FLAIR MR.
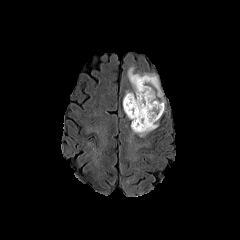
T1-weighted MR image.
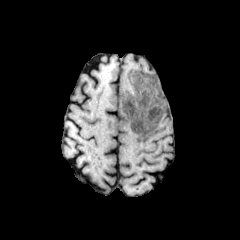
Post-contrast T1-weighted MR.
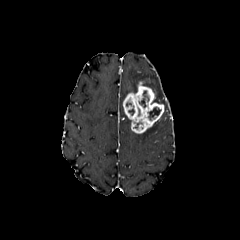
T2-weighted MRI.
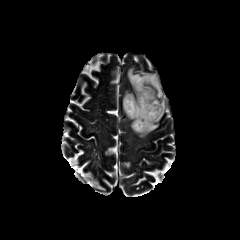
Head
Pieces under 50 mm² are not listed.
necrotic tumor core: bbox(149, 107, 160, 119)
enhancing tumor: bbox(123, 81, 164, 133)
peritumoral edema: bbox(138, 121, 158, 137); bbox(127, 67, 165, 104)